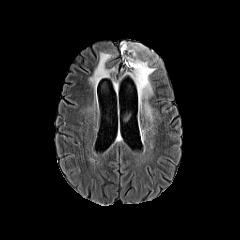
FLAIR magnetic resonance.
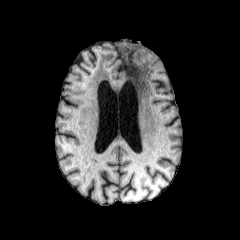
Same slice, T1-weighted MR image.
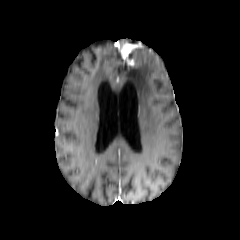
Post-contrast T1-weighted MR image of the same slice.
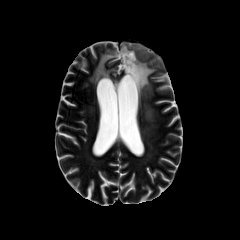
Same slice, T2-weighted MR image.
Axial slice, Head
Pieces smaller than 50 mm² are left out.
The enhancing tumor lies within x1=121, y1=42, x2=142, y2=66. The 3 largest peritumoral edema regions appear at x1=124, y1=46, x2=156, y2=110; x1=90, y1=52, x2=116, y2=86; x1=143, y1=101, x2=152, y2=121.